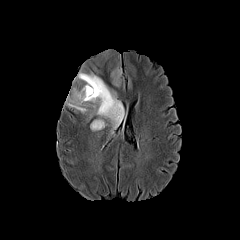
FLAIR MR image.
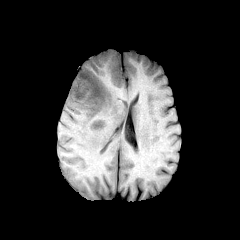
T1-weighted MRI of the same slice.
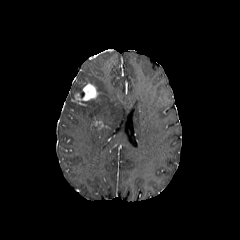
Post-contrast T1-weighted MR image.
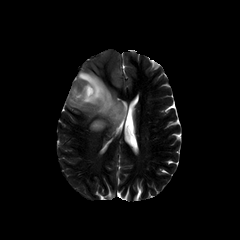
T2-weighted MR.
Axial view.
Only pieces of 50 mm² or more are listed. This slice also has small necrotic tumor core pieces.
peritumoral edema — l=66, t=50, r=126, b=133
enhancing tumor — l=72, t=82, r=99, b=103; l=91, t=120, r=104, b=130